FLAIR MR.
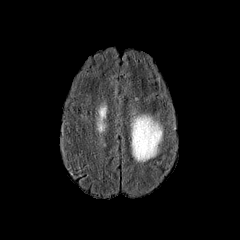
T1-weighted magnetic resonance.
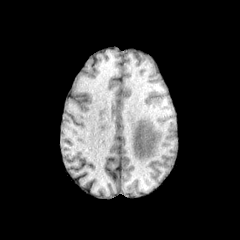
Post-contrast T1-weighted MR.
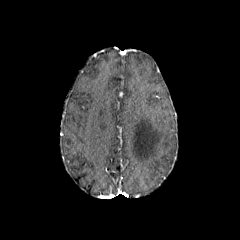
T2-weighted MR image.
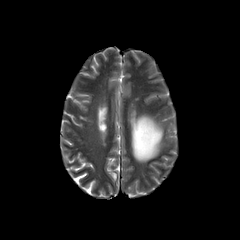
Brain; Axial view; Image size 240x240
peritumoral edema — 131 115 162 161